FLAIR MR.
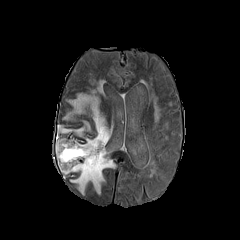
T1-weighted MR image.
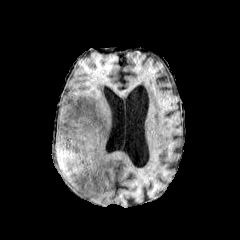
Post-contrast T1-weighted MR image.
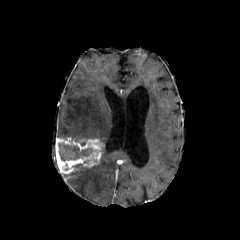
T2-weighted MR.
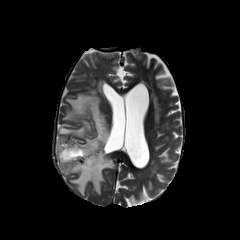
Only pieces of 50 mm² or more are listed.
3 peritumoral edema regions are located at <box>64,94,109,146</box>, <box>70,152,115,194</box>, <box>58,121,90,135</box>. The largest necrotic tumor core region is at <box>58,143,92,161</box>. The largest enhancing tumor region is located at <box>55,137,103,173</box>.